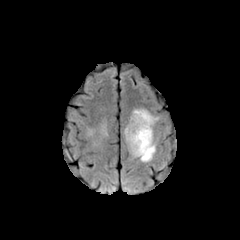
FLAIR MR.
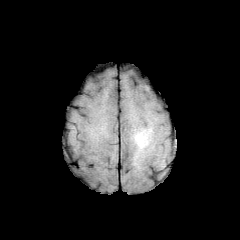
T1-weighted MR image.
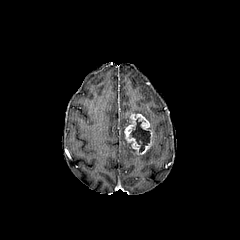
Post-contrast T1-weighted MR image.
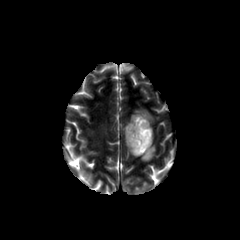
T2-weighted MR image.
240x240 px
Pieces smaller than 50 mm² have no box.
The largest peritumoral edema region appears at bbox=[125, 109, 158, 161]. The enhancing tumor is at bbox=[124, 114, 152, 154]. The necrotic tumor core is bounded by bbox=[130, 118, 150, 152].